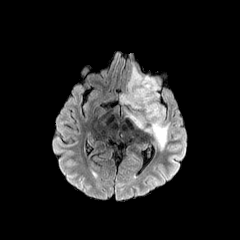
FLAIR magnetic resonance.
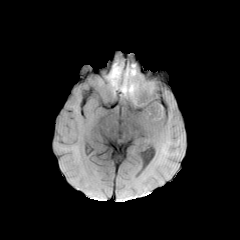
T1-weighted MRI of the same slice.
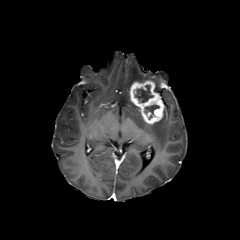
Post-contrast T1-weighted magnetic resonance.
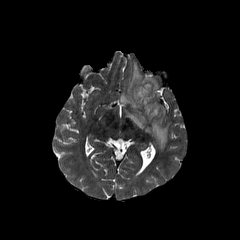
T2-weighted MR.
240x240; Head
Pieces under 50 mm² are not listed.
{
  "enhancing_tumor": [
    "<box>129,80,164,124</box>"
  ],
  "necrotic_tumor_core": [
    "<box>135,85,153,102</box>",
    "<box>145,105,159,114</box>"
  ],
  "peritumoral_edema": [
    "<box>120,66,169,150</box>"
  ]
}